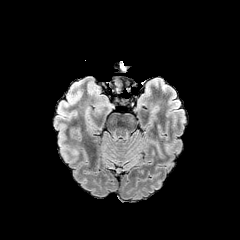
FLAIR magnetic resonance.
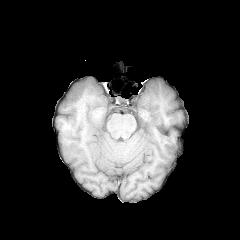
T1-weighted MRI.
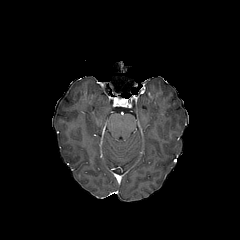
Post-contrast T1-weighted MRI.
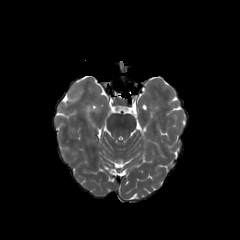
T2-weighted MR.
Brain
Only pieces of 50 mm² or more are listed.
<segmentation>
  <peritumoral_edema>region(61, 145, 69, 152)</peritumoral_edema>
</segmentation>